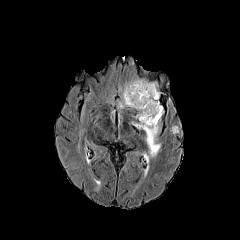
FLAIR MR.
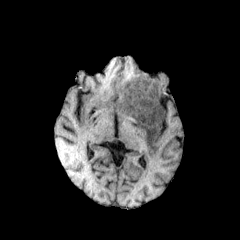
T1-weighted MR.
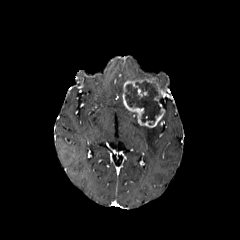
Post-contrast T1-weighted MR image of the same slice.
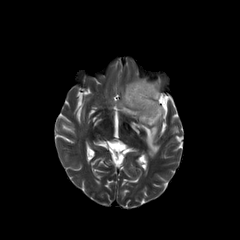
Same slice, T2-weighted MR.
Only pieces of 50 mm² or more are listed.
necrotic tumor core: bounding box [125,81,160,122]
enhancing tumor: bounding box [122,78,164,127]
peritumoral edema: bounding box [118,96,124,108], [132,123,160,156]